240x240. Axial view. Slice index 104. Brain.
FLAIR MRI.
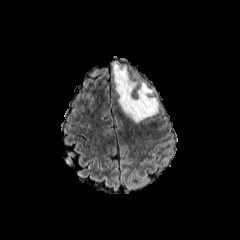
T1-weighted MR image.
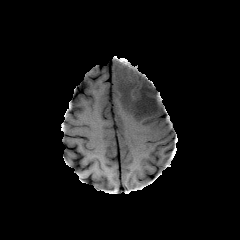
Post-contrast T1-weighted MR image.
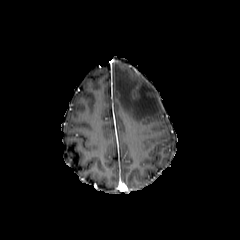
T2-weighted magnetic resonance.
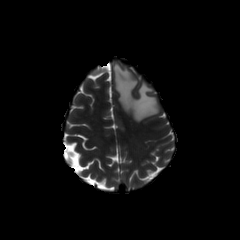
The peritumoral edema appears at 113 62 158 122.